FLAIR MR.
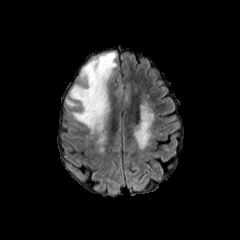
T1-weighted MR.
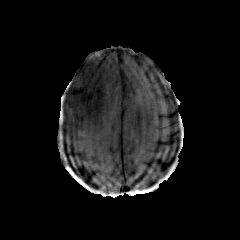
Post-contrast T1-weighted MRI.
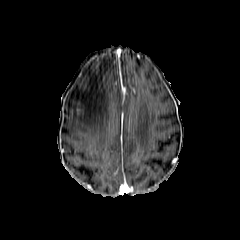
T2-weighted MRI.
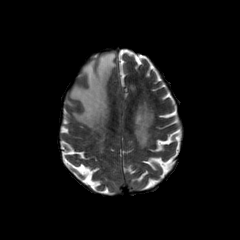
Brain; Axial plane
<segmentation>
  <peritumoral_edema>(x1=65, y1=52, x2=117, y2=132), (x1=112, y1=76, x2=122, y2=89)</peritumoral_edema>
</segmentation>